FLAIR magnetic resonance.
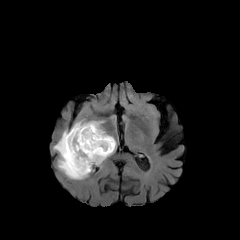
T1-weighted MRI.
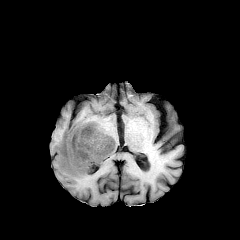
Post-contrast T1-weighted MR.
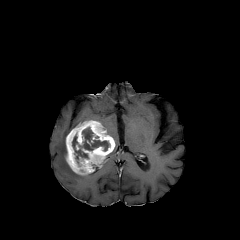
T2-weighted MRI.
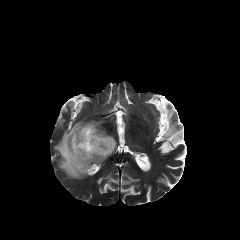
Brain.
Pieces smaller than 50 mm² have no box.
The largest peritumoral edema region is bounded by x1=53 y1=129 x2=89 y2=179. The necrotic tumor core is bounded by x1=72 y1=127 x2=109 y2=159. The largest enhancing tumor region is bounded by x1=65 y1=120 x2=115 y2=175.